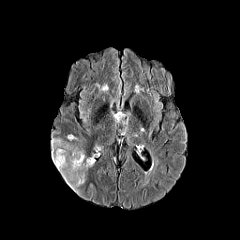
FLAIR magnetic resonance.
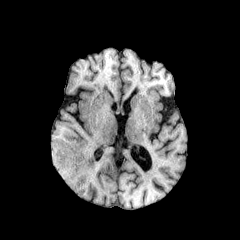
T1-weighted magnetic resonance of the same slice.
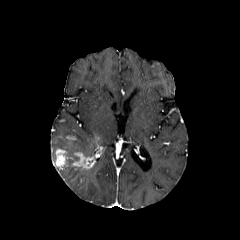
Post-contrast T1-weighted magnetic resonance.
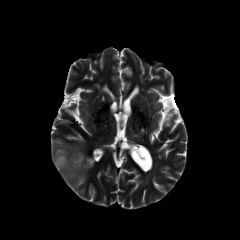
Same slice, T2-weighted MR.
Head, Axial slice
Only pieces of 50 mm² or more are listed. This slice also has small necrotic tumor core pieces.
peritumoral edema: bounding box (x1=56, y1=159, x2=87, y2=193), (x1=52, y1=138, x2=84, y2=163)
enhancing tumor: bounding box (x1=54, y1=149, x2=95, y2=169)